Slice index 87
FLAIR MRI.
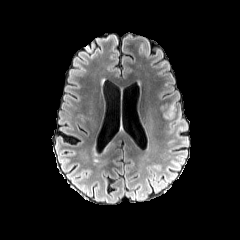
T1-weighted MR image.
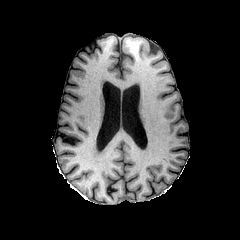
Post-contrast T1-weighted magnetic resonance.
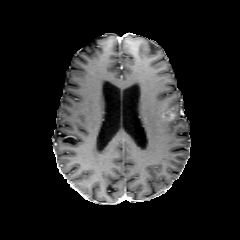
T2-weighted MR image.
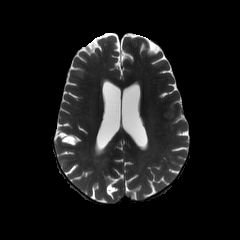
enhancing tumor: bounding box 163, 107, 175, 119
peritumoral edema: bounding box 160, 103, 175, 112